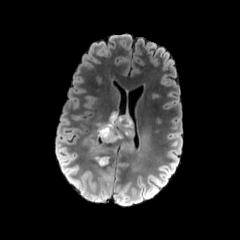
FLAIR magnetic resonance.
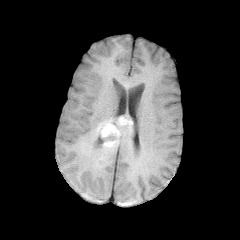
Same slice, T1-weighted MR.
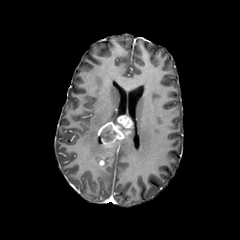
Same slice, post-contrast T1-weighted MRI.
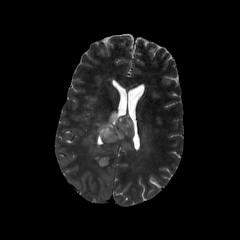
T2-weighted magnetic resonance of the same slice.
Brain
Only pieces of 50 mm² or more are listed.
enhancing tumor: l=97, t=115, r=133, b=144 | necrotic tumor core: l=99, t=125, r=116, b=142 | peritumoral edema: l=107, t=112, r=118, b=123; l=83, t=122, r=116, b=167; l=121, t=128, r=150, b=170